Brain. Slice index 101.
FLAIR magnetic resonance.
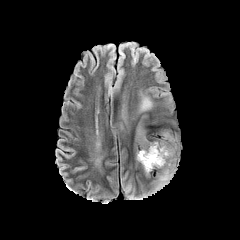
T1-weighted magnetic resonance.
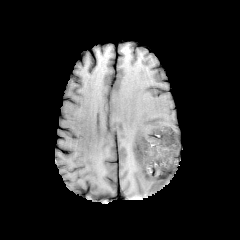
Post-contrast T1-weighted MR.
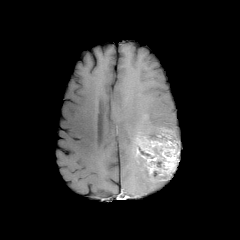
T2-weighted MRI.
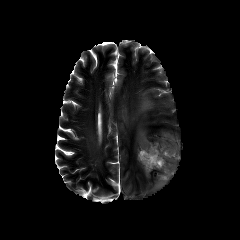
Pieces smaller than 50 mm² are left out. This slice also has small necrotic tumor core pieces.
Segmented structures:
• peritumoral edema: (left=155, top=180, right=167, bottom=187)
• enhancing tumor: (left=135, top=131, right=179, bottom=181)